Slice 84 of 155, 240x240
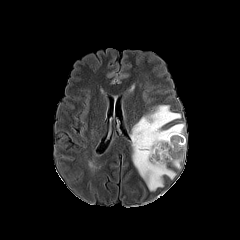
FLAIR MRI.
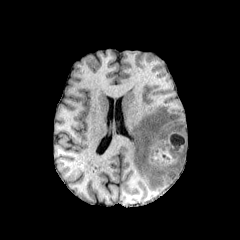
T1-weighted MR.
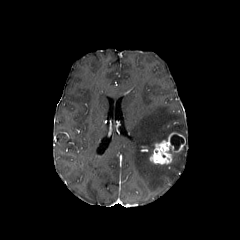
Post-contrast T1-weighted MR image of the same slice.
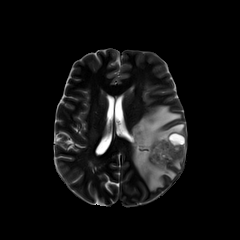
T2-weighted magnetic resonance.
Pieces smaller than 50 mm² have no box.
The largest necrotic tumor core region appears at 170, 134, 184, 150. 2 peritumoral edema regions are bounded by 131, 105, 184, 191; 172, 145, 185, 169. The enhancing tumor is located at 149, 132, 185, 164.